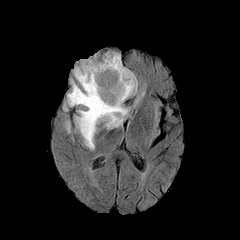
FLAIR MR image.
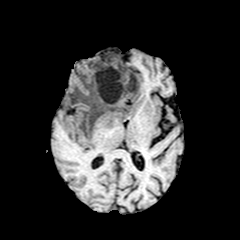
T1-weighted MR image of the same slice.
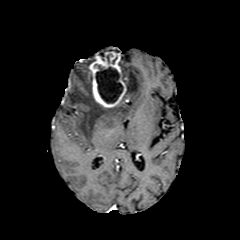
Same slice, post-contrast T1-weighted magnetic resonance.
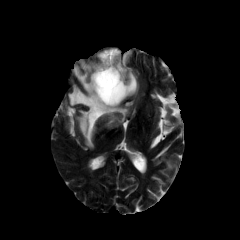
Same slice, T2-weighted MRI.
240x240 px
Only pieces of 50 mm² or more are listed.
Findings:
- peritumoral edema: 67 60 137 149
- enhancing tumor: 88 51 126 107
- necrotic tumor core: 95 65 123 103